Axial slice | Slice 91/155
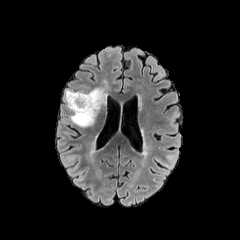
FLAIR MRI.
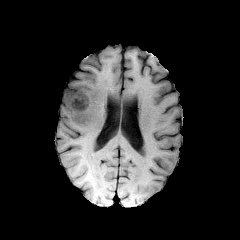
T1-weighted MRI.
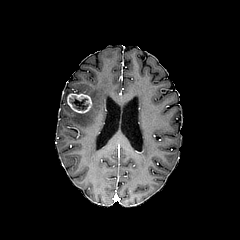
Post-contrast T1-weighted magnetic resonance.
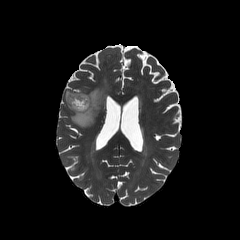
T2-weighted MRI of the same slice.
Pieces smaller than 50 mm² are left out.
{
  "peritumoral_edema": [
    "(64, 88, 106, 127)"
  ],
  "enhancing_tumor": [
    "(67, 93, 92, 113)"
  ],
  "necrotic_tumor_core": [
    "(70, 98, 87, 109)"
  ]
}